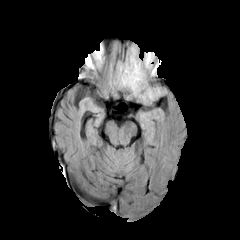
FLAIR MRI.
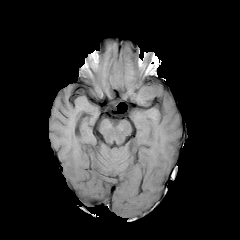
T1-weighted MR.
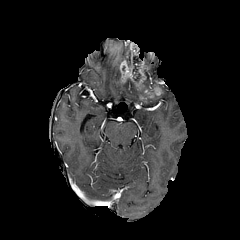
Post-contrast T1-weighted magnetic resonance.
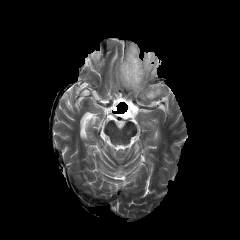
T2-weighted magnetic resonance of the same slice.
Axial slice
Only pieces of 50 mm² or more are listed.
The largest necrotic tumor core region is at bbox=[133, 56, 140, 72]. The 2 largest peritumoral edema regions appear at bbox=[144, 53, 155, 75]; bbox=[117, 62, 143, 97]. The largest enhancing tumor region lies within bbox=[119, 43, 162, 100].